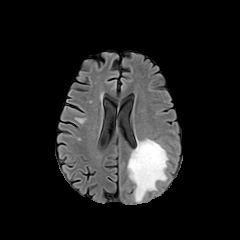
FLAIR MR image.
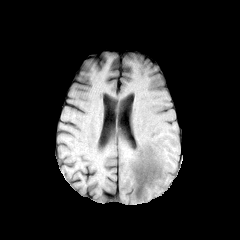
T1-weighted MRI.
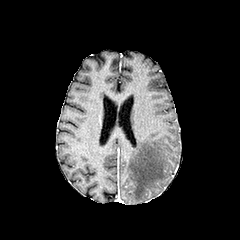
Post-contrast T1-weighted magnetic resonance.
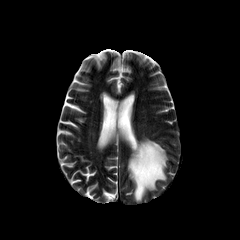
T2-weighted magnetic resonance of the same slice.
240x240 | Axial plane
The peritumoral edema appears at rect(127, 138, 168, 202).